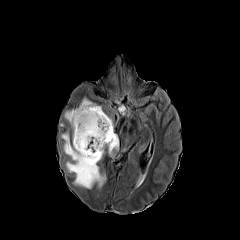
FLAIR MRI.
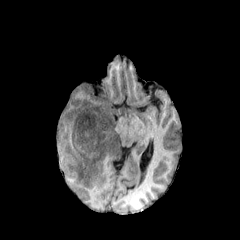
T1-weighted MR image.
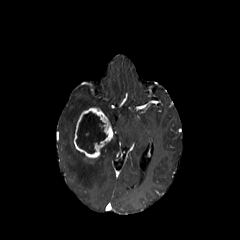
Post-contrast T1-weighted magnetic resonance of the same slice.
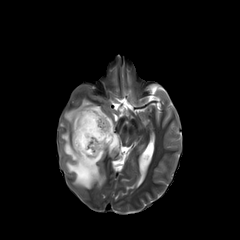
T2-weighted MR of the same slice.
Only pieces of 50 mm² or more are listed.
The enhancing tumor is bounded by box=[73, 107, 113, 158]. The 2 largest peritumoral edema regions are located at box=[64, 98, 101, 141]; box=[61, 129, 118, 188]. The necrotic tumor core appears at box=[76, 112, 107, 153].